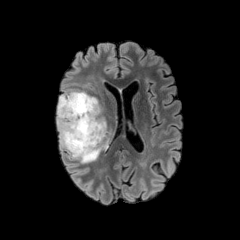
FLAIR MR.
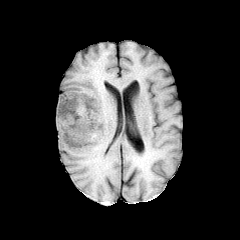
Same slice, T1-weighted magnetic resonance.
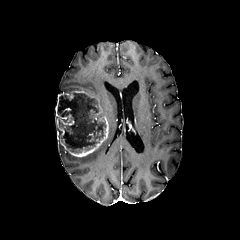
Same slice, post-contrast T1-weighted magnetic resonance.
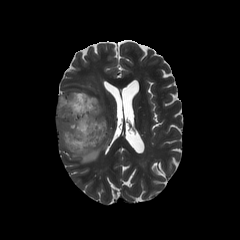
Same slice, T2-weighted MR image.
Head; Axial slice
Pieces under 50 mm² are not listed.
The largest peritumoral edema region is at box(67, 131, 110, 163). The largest necrotic tumor core region is bounded by box(59, 93, 105, 152). The largest enhancing tumor region is at box(56, 90, 108, 157).